FLAIR MR.
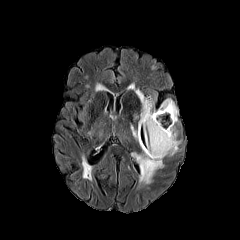
T1-weighted magnetic resonance.
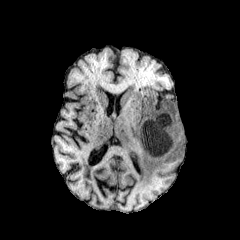
Post-contrast T1-weighted MR.
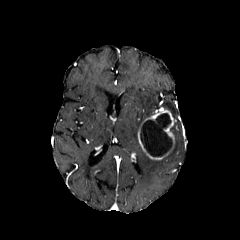
T2-weighted MRI.
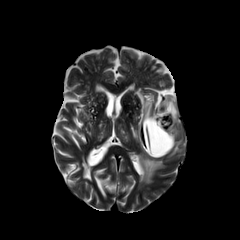
Head; Image size 240x240; Axial slice
The enhancing tumor appears at (left=137, top=107, right=176, bottom=160). The necrotic tumor core is located at (left=140, top=113, right=172, bottom=156). 5 peritumoral edema regions are bounded by (left=137, top=152, right=163, bottom=183), (left=169, top=126, right=180, bottom=155), (left=160, top=99, right=177, bottom=120), (left=136, top=90, right=154, bottom=129), (left=131, top=125, right=137, bottom=140).